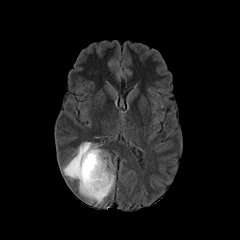
FLAIR MR.
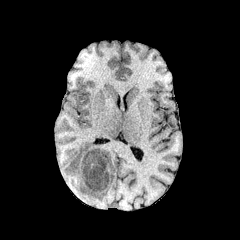
Same slice, T1-weighted MR.
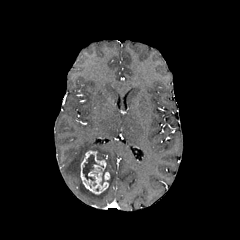
Post-contrast T1-weighted magnetic resonance.
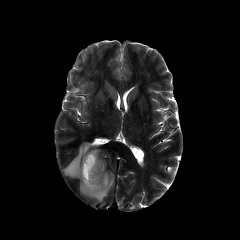
T2-weighted magnetic resonance.
Head, 240x240
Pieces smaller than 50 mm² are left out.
The largest necrotic tumor core region is at (83, 154, 99, 180). The enhancing tumor lies within (80, 150, 109, 194). The largest peritumoral edema region is located at (63, 142, 114, 203).